Slice 106 of 155. Head.
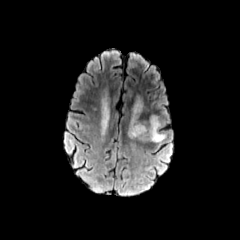
FLAIR MR.
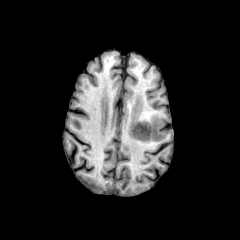
Same slice, T1-weighted magnetic resonance.
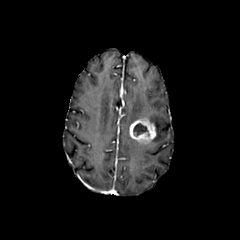
Post-contrast T1-weighted magnetic resonance.
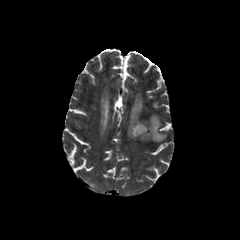
T2-weighted MR.
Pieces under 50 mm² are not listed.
enhancing tumor: 129, 117, 156, 143
necrotic tumor core: 133, 123, 147, 136
peritumoral edema: 150, 115, 165, 142; 130, 100, 142, 124